Head
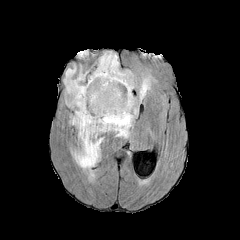
FLAIR MRI.
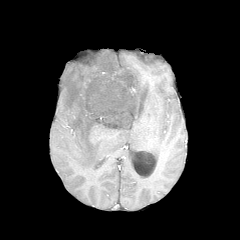
T1-weighted MR image of the same slice.
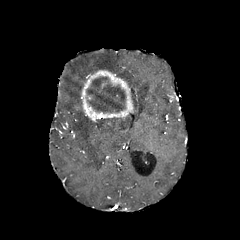
Same slice, post-contrast T1-weighted MRI.
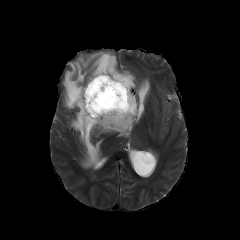
T2-weighted MRI.
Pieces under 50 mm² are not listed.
The peritumoral edema is located at rect(63, 51, 149, 169). The largest enhancing tumor region is at rect(80, 70, 133, 121). The necrotic tumor core appears at rect(87, 77, 125, 112).